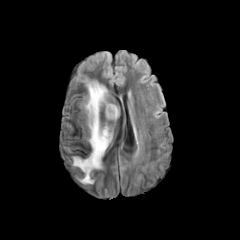
FLAIR MR.
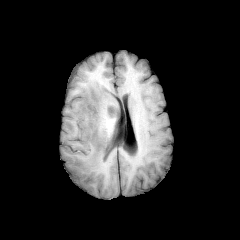
T1-weighted MR image.
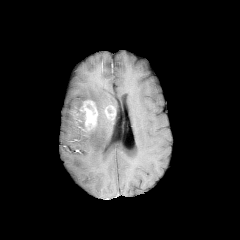
Post-contrast T1-weighted MR.
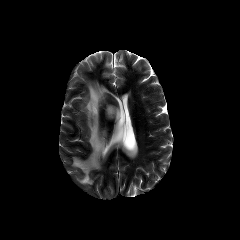
T2-weighted magnetic resonance.
Brain
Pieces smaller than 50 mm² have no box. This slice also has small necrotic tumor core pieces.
2 peritumoral edema regions are located at <box>106,104,118,117</box>, <box>73,82,110,183</box>. 2 enhancing tumor regions appear at <box>106,106,115,116</box>, <box>83,101,97,129</box>.